FLAIR MRI.
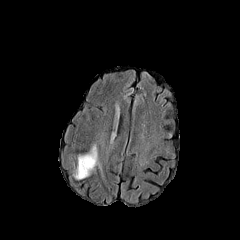
T1-weighted MRI.
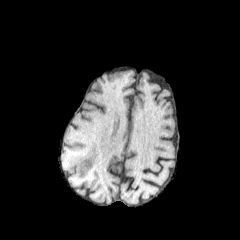
Post-contrast T1-weighted MR.
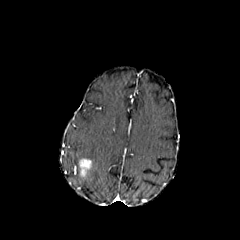
T2-weighted MR image.
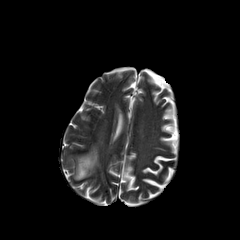
Head, 240x240 px
The peritumoral edema is bounded by 75, 144, 102, 179. The enhancing tumor appears at 79, 158, 91, 176.